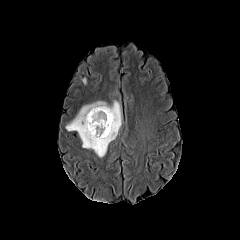
FLAIR MR.
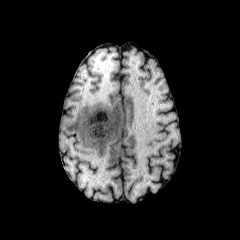
T1-weighted MRI.
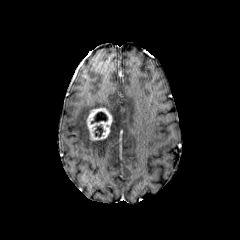
Post-contrast T1-weighted MR.
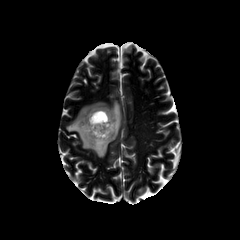
T2-weighted magnetic resonance.
Head; Image size 240x240; Axial slice
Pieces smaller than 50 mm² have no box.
necrotic tumor core — [91, 112, 107, 123], [92, 124, 104, 137]
enhancing tumor — [86, 107, 112, 140]
peritumoral edema — [66, 100, 121, 157]